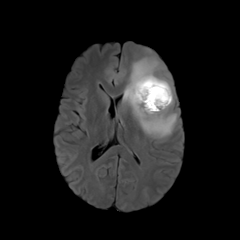
FLAIR MRI.
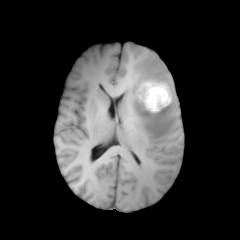
T1-weighted magnetic resonance.
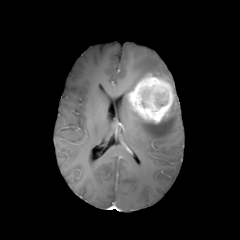
Same slice, post-contrast T1-weighted magnetic resonance.
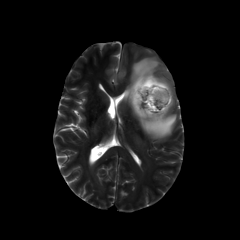
T2-weighted magnetic resonance of the same slice.
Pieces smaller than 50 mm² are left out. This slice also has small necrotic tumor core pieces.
- peritumoral edema: x1=122, y1=56, x2=177, y2=139
- enhancing tumor: x1=127, y1=73, x2=174, y2=123